Brain
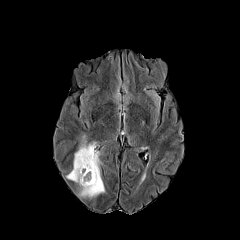
FLAIR MR.
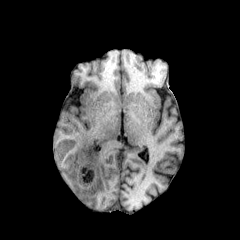
T1-weighted MRI.
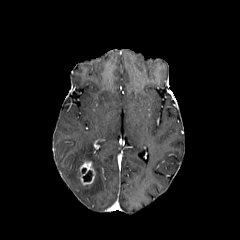
Same slice, post-contrast T1-weighted MRI.
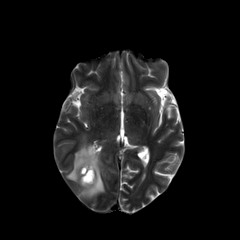
T2-weighted MRI.
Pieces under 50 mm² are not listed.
The peritumoral edema is bounded by {"x1": 66, "y1": 135, "x2": 105, "y2": 198}. The enhancing tumor is at {"x1": 79, "y1": 160, "x2": 95, "y2": 185}. The largest necrotic tumor core region lies within {"x1": 83, "y1": 170, "x2": 92, "y2": 181}.